Image width 240 mm. Axial plane.
FLAIR MR image.
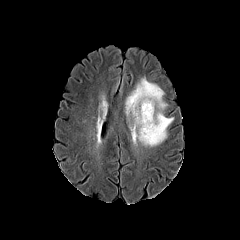
T1-weighted MRI.
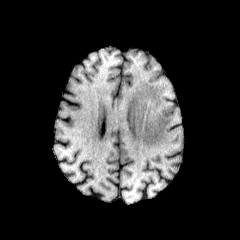
Post-contrast T1-weighted magnetic resonance.
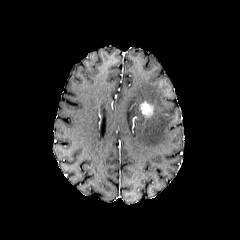
T2-weighted magnetic resonance.
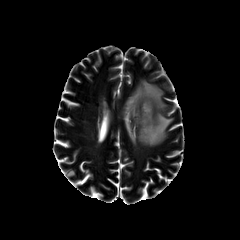
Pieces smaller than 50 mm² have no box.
enhancing tumor — rect(140, 101, 153, 117)
peritumoral edema — rect(125, 78, 173, 146)